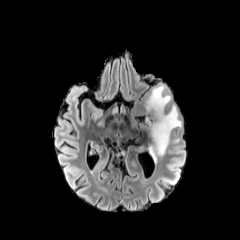
FLAIR MR.
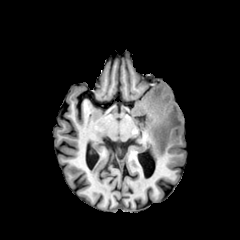
Same slice, T1-weighted MR.
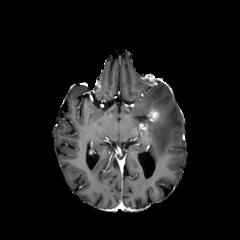
Same slice, post-contrast T1-weighted MR.
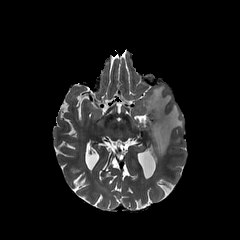
T2-weighted MRI of the same slice.
Axial plane.
peritumoral edema at region(140, 84, 182, 161)
enhancing tumor at region(148, 107, 160, 121)